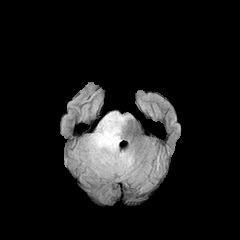
FLAIR magnetic resonance.
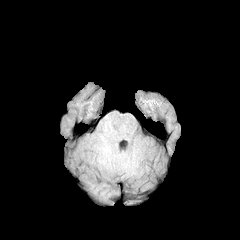
T1-weighted MRI of the same slice.
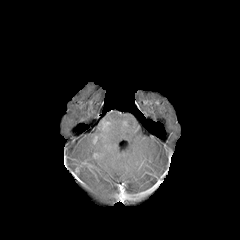
Post-contrast T1-weighted MR.
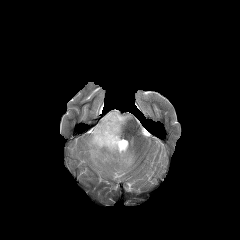
T2-weighted MRI.
Axial view; Head
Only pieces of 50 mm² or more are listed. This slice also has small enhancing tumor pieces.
peritumoral_edema:
  - bbox(75, 111, 134, 175)